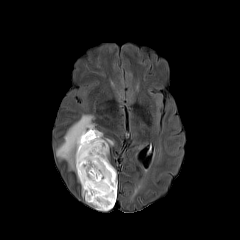
FLAIR MR.
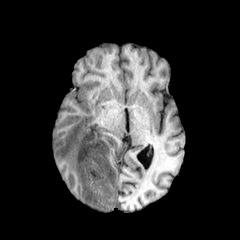
T1-weighted MR.
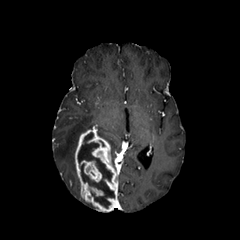
Post-contrast T1-weighted MR image of the same slice.
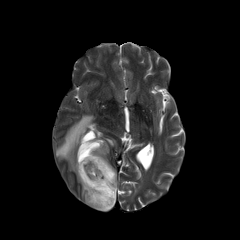
Same slice, T2-weighted MR.
Brain
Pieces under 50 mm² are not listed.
necrotic tumor core: l=78, t=132, r=114, b=208 | enhancing tumor: l=75, t=127, r=117, b=211 | peritumoral edema: l=97, t=130, r=113, b=146; l=56, t=115, r=94, b=173